FLAIR magnetic resonance.
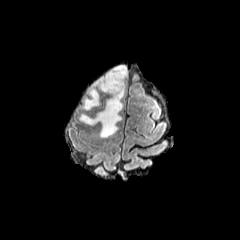
T1-weighted MR.
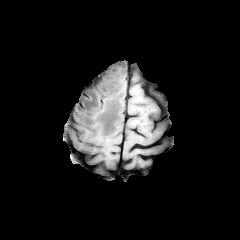
Post-contrast T1-weighted magnetic resonance.
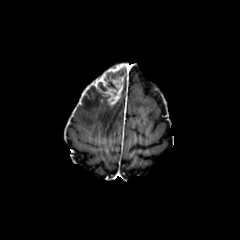
T2-weighted magnetic resonance.
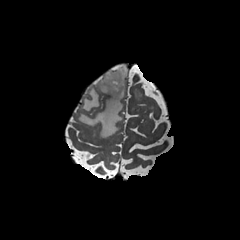
Axial slice | 240x240 px
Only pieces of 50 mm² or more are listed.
- necrotic tumor core: (x1=107, y1=81, x2=118, y2=90)
- enhancing tumor: (x1=91, y1=64, x2=126, y2=105)
- peritumoral edema: (x1=79, y1=66, x2=127, y2=137), (x1=83, y1=86, x2=99, y2=110)